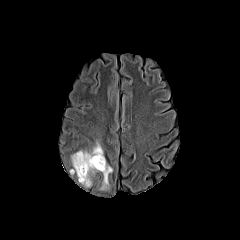
FLAIR MR.
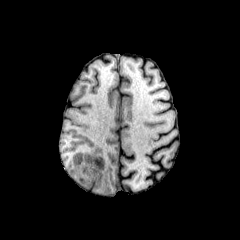
T1-weighted MRI.
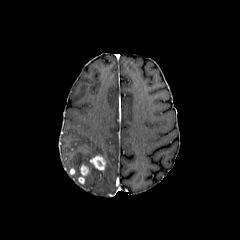
Post-contrast T1-weighted MR of the same slice.
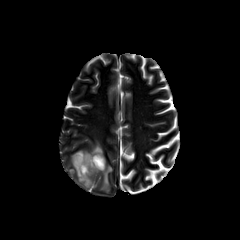
T2-weighted MRI.
Head. 240x240 px.
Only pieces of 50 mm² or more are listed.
The peritumoral edema is bounded by left=71, top=141, right=112, bottom=189. The 2 largest enhancing tumor regions appear at left=78, top=164, right=91, bottom=183; left=89, top=154, right=105, bottom=170.